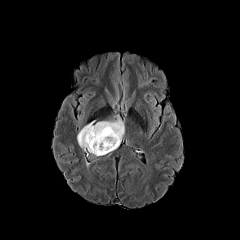
FLAIR MR image.
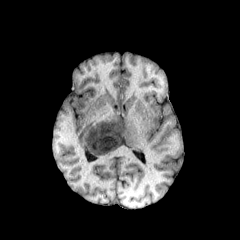
T1-weighted magnetic resonance.
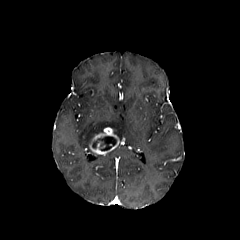
Post-contrast T1-weighted MR.
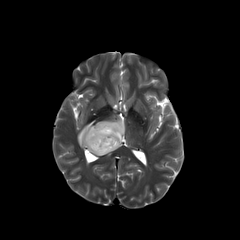
T2-weighted magnetic resonance.
Axial slice | 240x240 px
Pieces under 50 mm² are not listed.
peritumoral edema: rect(77, 116, 124, 153) | necrotic tumor core: rect(92, 136, 116, 150) | enhancing tumor: rect(89, 127, 120, 155)